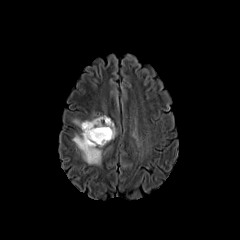
FLAIR MR.
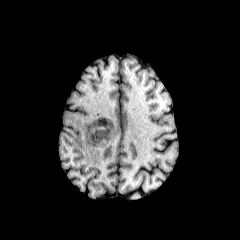
Same slice, T1-weighted MR.
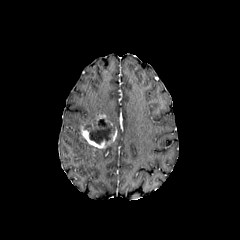
Post-contrast T1-weighted MR.
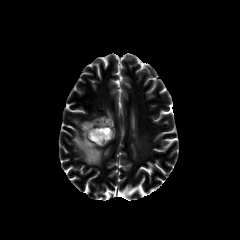
T2-weighted magnetic resonance.
240x240 px
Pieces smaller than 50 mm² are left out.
The 2 largest enhancing tumor regions appear at [95, 114, 112, 126], [80, 123, 117, 148]. The necrotic tumor core is at [84, 119, 114, 144]. The 2 largest peritumoral edema regions are bounded by [73, 118, 95, 131], [72, 133, 102, 165].